FLAIR MR.
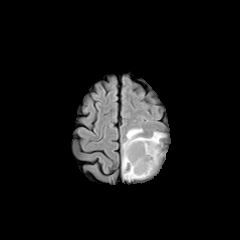
T1-weighted MRI.
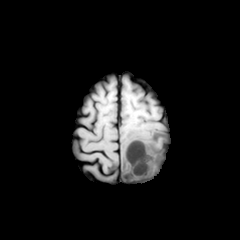
Post-contrast T1-weighted MR image.
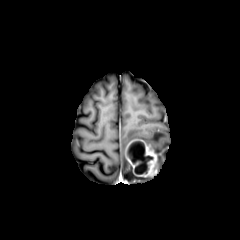
T2-weighted magnetic resonance.
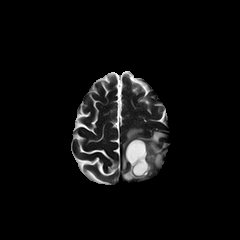
Brain. Image size 240x240. Axial slice.
The enhancing tumor appears at (left=125, top=140, right=156, bottom=176). The peritumoral edema is bounded by (left=122, top=128, right=165, bottom=180). 2 necrotic tumor core regions are located at (left=129, top=141, right=153, bottom=164), (left=135, top=163, right=147, bottom=172).